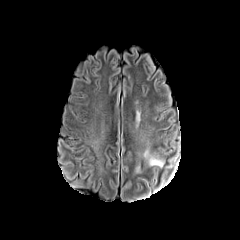
FLAIR MR.
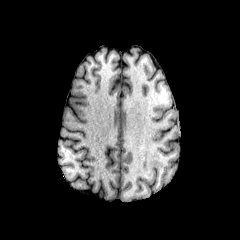
Same slice, T1-weighted magnetic resonance.
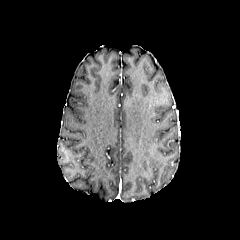
Post-contrast T1-weighted MR of the same slice.
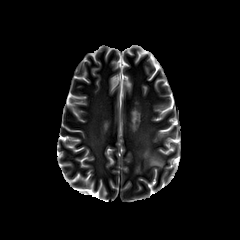
T2-weighted MRI of the same slice.
Axial slice
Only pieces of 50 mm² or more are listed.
Segmented structures:
* peritumoral edema: l=144, t=150, r=163, b=167